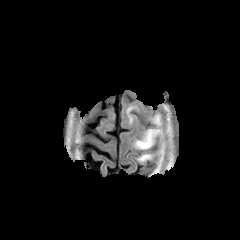
FLAIR MR image.
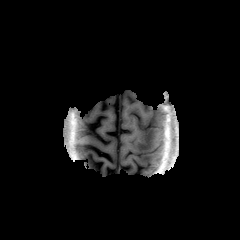
T1-weighted MRI.
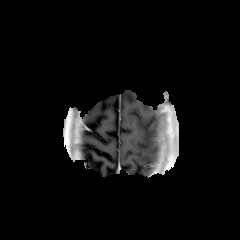
Post-contrast T1-weighted MR.
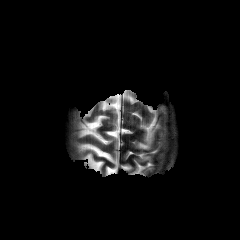
T2-weighted MR image of the same slice.
Brain, Axial slice
{
  "peritumoral_edema": [
    "(135,129,158,149)",
    "(152,116,159,124)",
    "(138,154,151,161)"
  ]
}